Axial view, Image covers 240 mm x 240 mm, Head
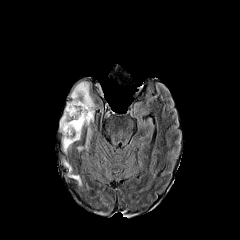
FLAIR MR.
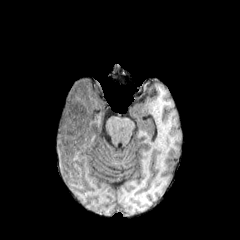
T1-weighted MR image.
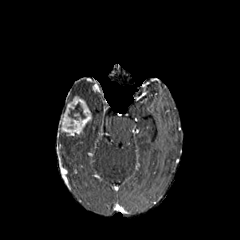
Same slice, post-contrast T1-weighted MRI.
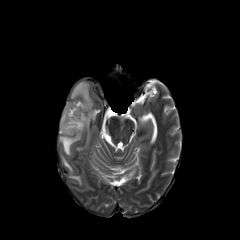
T2-weighted MRI.
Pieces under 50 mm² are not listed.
Annotated regions:
• peritumoral edema: {"x1": 86, "y1": 122, "x2": 90, "y2": 143}, {"x1": 70, "y1": 175, "x2": 81, "y2": 185}, {"x1": 70, "y1": 81, "x2": 94, "y2": 120}, {"x1": 61, "y1": 133, "x2": 80, "y2": 153}
• enhancing tumor: {"x1": 60, "y1": 96, "x2": 91, "y2": 136}
• necrotic tumor core: {"x1": 68, "y1": 103, "x2": 85, "y2": 119}